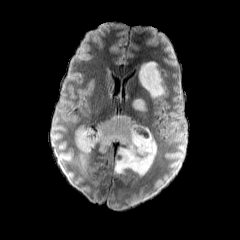
FLAIR MR image.
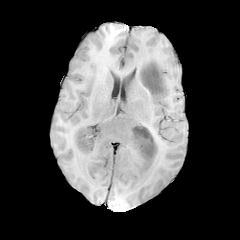
T1-weighted magnetic resonance.
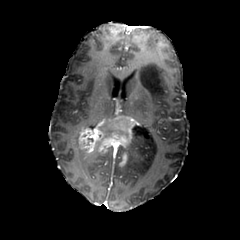
Same slice, post-contrast T1-weighted MR image.
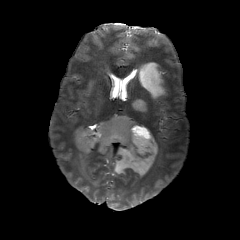
T2-weighted MR.
Axial plane | Brain
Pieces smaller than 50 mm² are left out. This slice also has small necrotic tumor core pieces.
<segmentation>
  <peritumoral_edema>(114, 125, 157, 176), (139, 61, 165, 98), (132, 98, 145, 110)</peritumoral_edema>
  <enhancing_tumor>(76, 115, 140, 167)</enhancing_tumor>
</segmentation>